Brain. Slice 49 of 155.
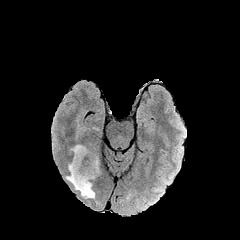
FLAIR magnetic resonance.
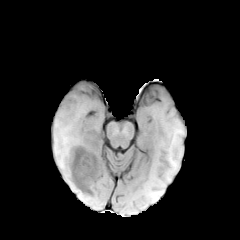
Same slice, T1-weighted MR.
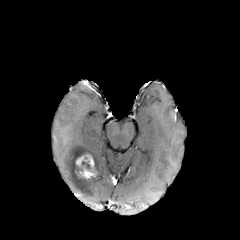
Post-contrast T1-weighted MRI.
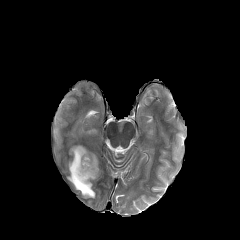
Same slice, T2-weighted magnetic resonance.
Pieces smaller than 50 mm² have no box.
{"necrotic_tumor_core": ["[76, 161, 90, 176]"], "enhancing_tumor": ["[74, 152, 96, 178]"], "peritumoral_edema": ["[66, 145, 99, 198]"]}